FLAIR MRI.
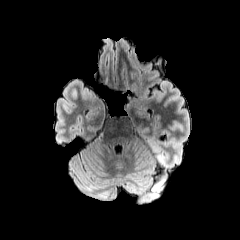
T1-weighted magnetic resonance.
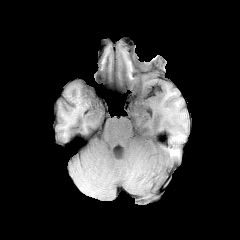
Post-contrast T1-weighted MRI.
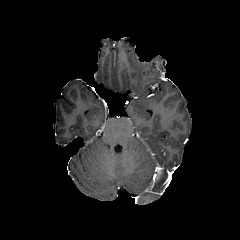
T2-weighted magnetic resonance.
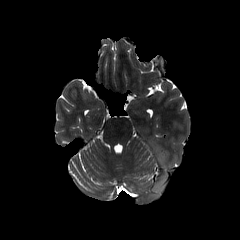
Axial slice; Head
Findings:
* peritumoral edema: (151,144,164,162), (150,175,164,197)